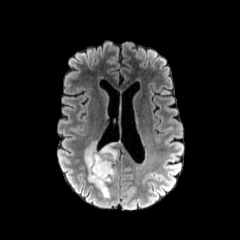
FLAIR MRI.
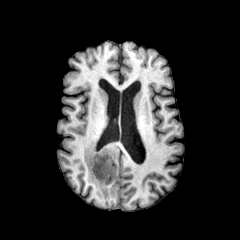
Same slice, T1-weighted MRI.
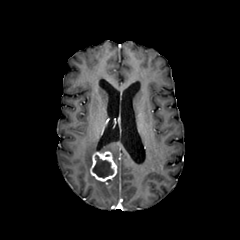
Post-contrast T1-weighted MR image of the same slice.
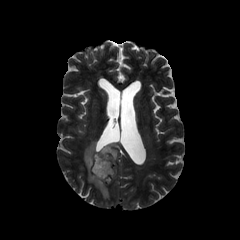
Same slice, T2-weighted MR.
Axial plane; Head
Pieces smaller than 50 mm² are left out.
{
  "peritumoral_edema": [
    "bbox(84, 141, 117, 197)"
  ],
  "necrotic_tumor_core": [
    "bbox(92, 155, 113, 178)"
  ],
  "enhancing_tumor": [
    "bbox(90, 151, 117, 182)"
  ]
}